FLAIR magnetic resonance.
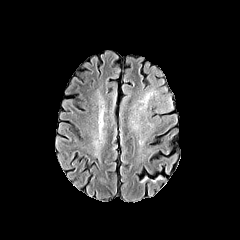
T1-weighted MR image.
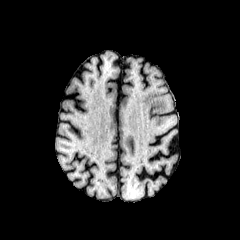
Post-contrast T1-weighted MR.
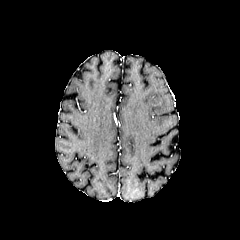
T2-weighted MRI.
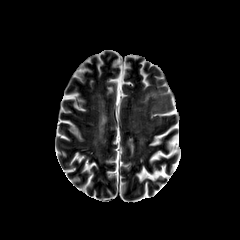
Axial slice, 240x240 px
The peritumoral edema appears at (139,91,156,109).